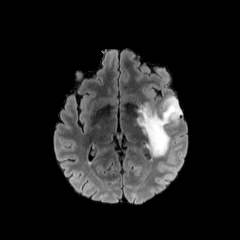
FLAIR MRI.
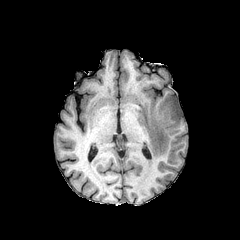
T1-weighted MR.
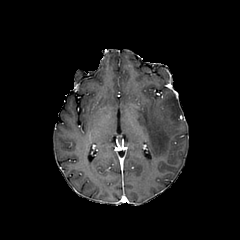
Post-contrast T1-weighted magnetic resonance.
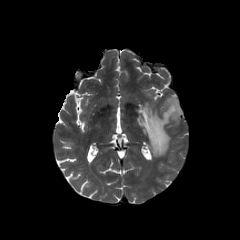
Same slice, T2-weighted magnetic resonance.
Head, 240x240 px
Segmented structures:
- peritumoral edema: 136,96,181,157